FLAIR magnetic resonance.
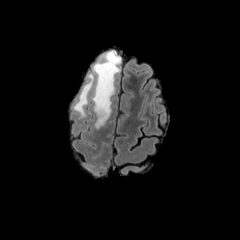
T1-weighted magnetic resonance.
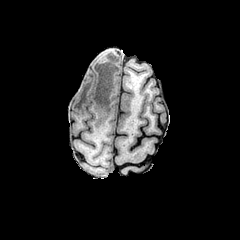
Post-contrast T1-weighted MRI.
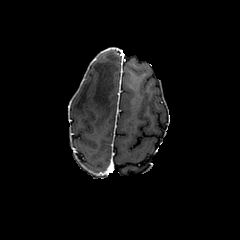
T2-weighted MR image.
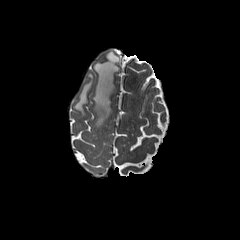
Head; Axial plane
peritumoral edema: box=[74, 73, 93, 117]; box=[92, 50, 120, 128]